FLAIR MR.
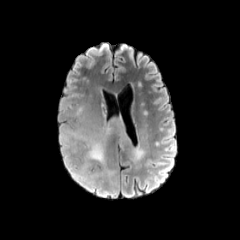
T1-weighted MR.
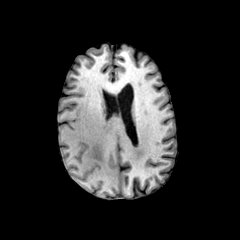
Post-contrast T1-weighted MR.
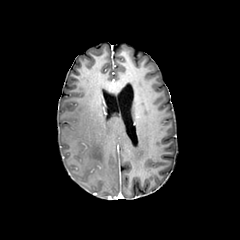
T2-weighted magnetic resonance.
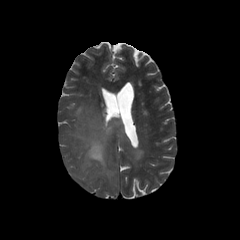
Brain | 240x240 | Axial plane
peritumoral_edema:
  - x1=69 y1=128 x2=114 y2=182